Axial view; Brain; Image covers 240 mm x 240 mm; Slice index 82
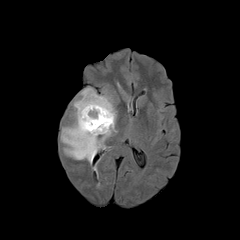
FLAIR MR.
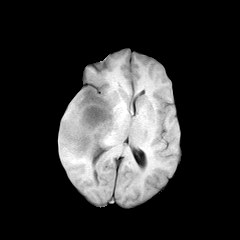
T1-weighted MRI of the same slice.
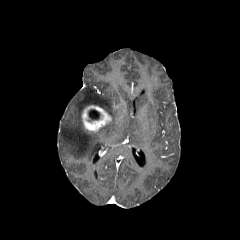
Post-contrast T1-weighted magnetic resonance.
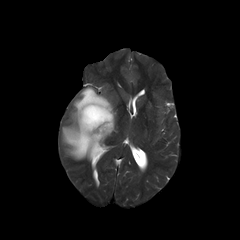
T2-weighted MRI.
Findings:
* peritumoral edema: [61, 87, 116, 162]
* necrotic tumor core: [88, 109, 100, 119]
* enhancing tumor: [81, 105, 111, 132]